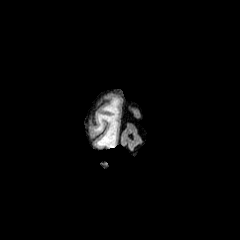
FLAIR MRI.
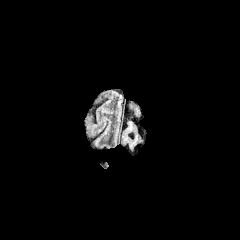
T1-weighted MR.
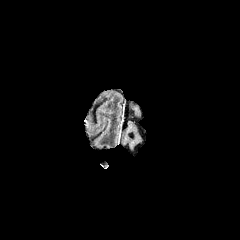
Post-contrast T1-weighted MRI.
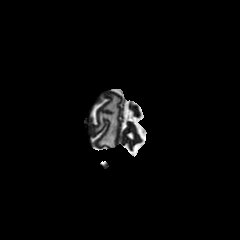
Same slice, T2-weighted MRI.
240x240 px, Head, Axial plane
peritumoral edema: bbox(94, 97, 119, 147)